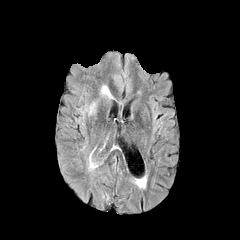
FLAIR MR image.
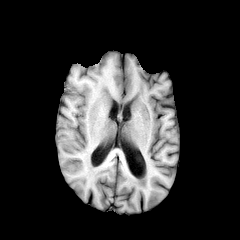
Same slice, T1-weighted MR image.
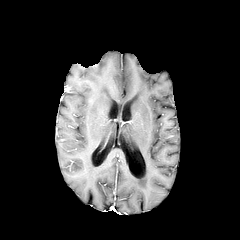
Post-contrast T1-weighted magnetic resonance.
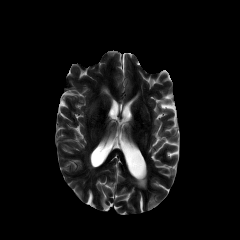
Same slice, T2-weighted MRI.
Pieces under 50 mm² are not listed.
Annotated regions:
• peritumoral edema: <bbox>101, 86, 111, 98</bbox>